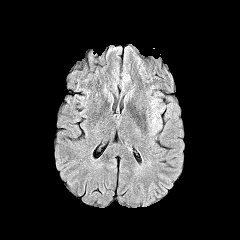
FLAIR MRI.
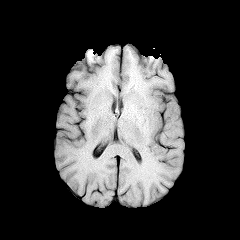
T1-weighted MR image of the same slice.
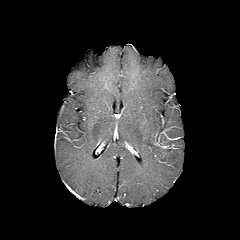
Post-contrast T1-weighted MRI.
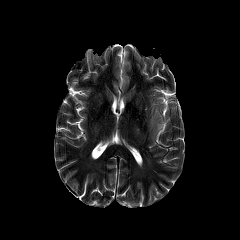
Same slice, T2-weighted magnetic resonance.
peritumoral edema: box(150, 100, 161, 131)